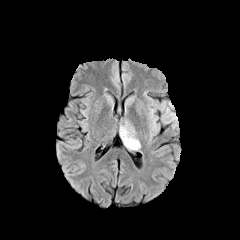
FLAIR MRI.
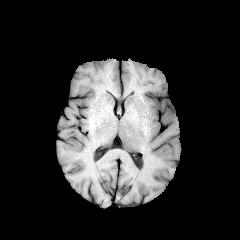
T1-weighted MR.
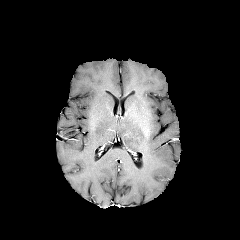
Same slice, post-contrast T1-weighted MR image.
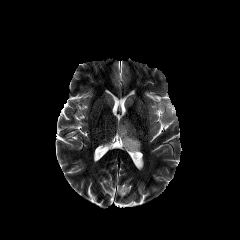
T2-weighted MR of the same slice.
Brain. Axial view.
2 peritumoral edema regions appear at 119 123 140 150, 149 101 177 134.